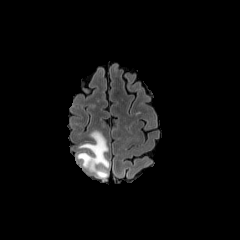
FLAIR MRI.
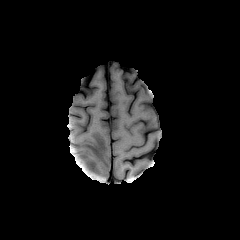
T1-weighted MR.
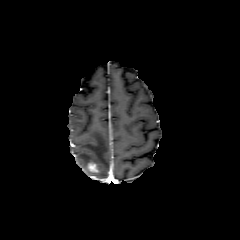
Post-contrast T1-weighted MRI.
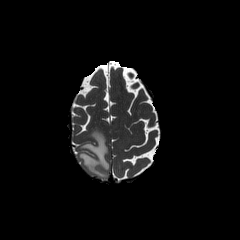
T2-weighted magnetic resonance.
240x240 px; Head
peritumoral edema — box=[77, 130, 110, 179]
enhancing tumor — box=[87, 161, 99, 173]